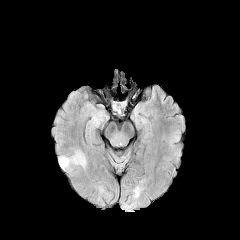
FLAIR MRI.
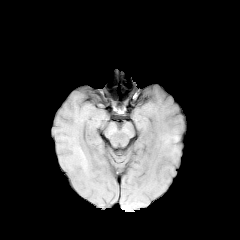
T1-weighted magnetic resonance of the same slice.
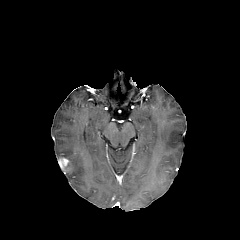
Post-contrast T1-weighted MRI of the same slice.
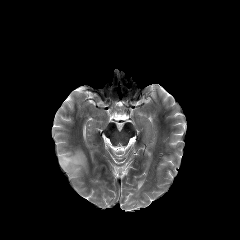
Same slice, T2-weighted magnetic resonance.
Axial plane
The enhancing tumor is at x1=58 y1=158 x2=69 y2=170. The peritumoral edema appears at x1=59 y1=150 x2=86 y2=174.